Image size 240x240
FLAIR MR.
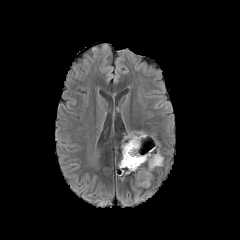
T1-weighted MRI.
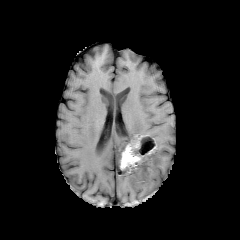
Post-contrast T1-weighted MR.
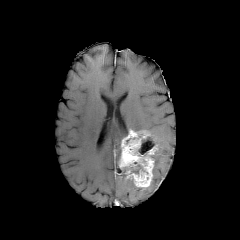
T2-weighted MRI.
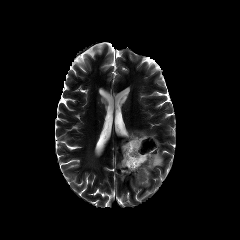
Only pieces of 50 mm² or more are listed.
The largest peritumoral edema region is at (153,150,163,167). The enhancing tumor lies within (119,130,157,187). The 2 largest necrotic tumor core regions are bounded by (122,164,141,174), (138,135,154,155).